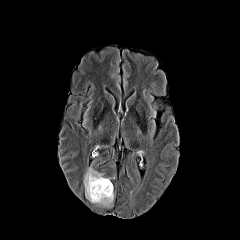
FLAIR magnetic resonance.
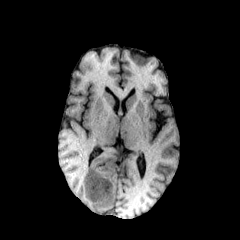
T1-weighted magnetic resonance.
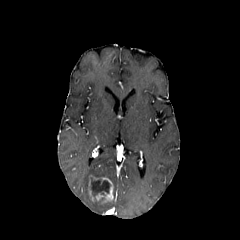
Post-contrast T1-weighted MRI.
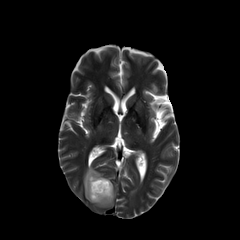
T2-weighted MR image of the same slice.
Head | Axial plane
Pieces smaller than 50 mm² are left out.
necrotic tumor core: 91:178:110:196 | peritumoral edema: 83:167:112:207 | enhancing tumor: 87:175:113:205